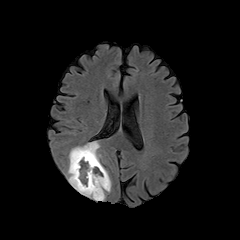
FLAIR MR image.
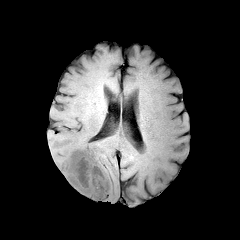
T1-weighted magnetic resonance of the same slice.
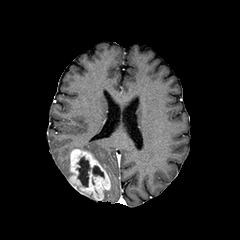
Same slice, post-contrast T1-weighted MR image.
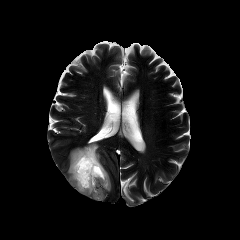
T2-weighted MR image of the same slice.
Head
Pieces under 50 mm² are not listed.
Findings:
* necrotic tumor core: (76, 156, 104, 186)
* enhancing tumor: (69, 149, 110, 200)
* peritumoral edema: (72, 142, 101, 165), (67, 153, 72, 178)